Slice 70/155
FLAIR MR image.
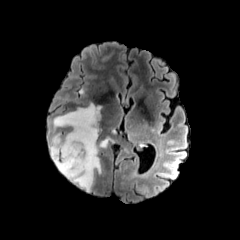
T1-weighted MRI.
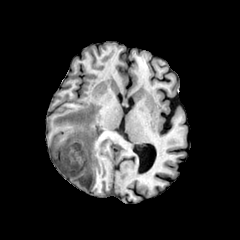
Post-contrast T1-weighted MR.
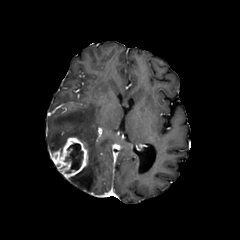
T2-weighted MR image.
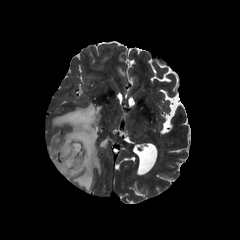
peritumoral edema — bbox(50, 103, 109, 191)
necrotic tumor core — bbox(65, 143, 82, 172)
enhancing tumor — bbox(50, 137, 88, 178)